Slice 35 of 155; 240x240
FLAIR magnetic resonance.
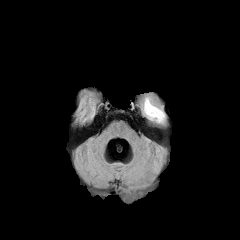
T1-weighted MR image.
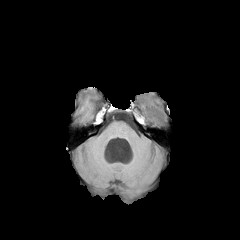
Post-contrast T1-weighted magnetic resonance.
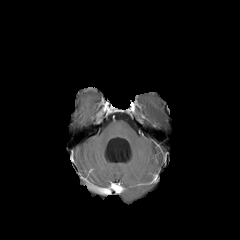
T2-weighted MR image.
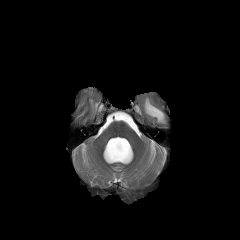
peritumoral edema — region(144, 98, 165, 122)